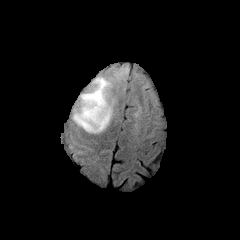
FLAIR MR image.
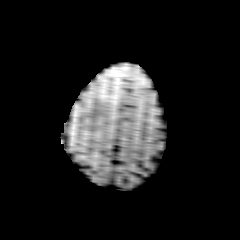
Same slice, T1-weighted MR image.
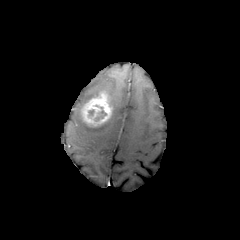
Post-contrast T1-weighted magnetic resonance.
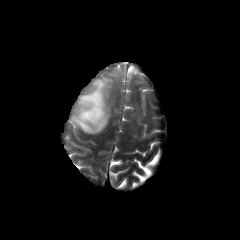
T2-weighted MR image of the same slice.
240x240
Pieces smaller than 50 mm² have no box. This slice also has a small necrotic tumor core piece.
enhancing tumor: 81, 92, 111, 126
peritumoral edema: 72, 77, 113, 133